Axial plane. Image size 240x240. Slice index 93. Image covers 240 mm x 240 mm.
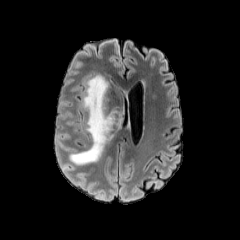
FLAIR MRI.
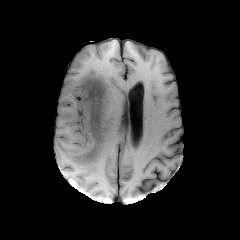
Same slice, T1-weighted magnetic resonance.
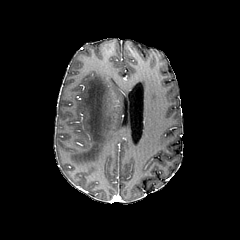
Same slice, post-contrast T1-weighted MR image.
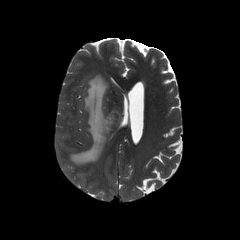
T2-weighted MR image.
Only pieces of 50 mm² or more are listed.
peritumoral edema — [69,74,117,165]